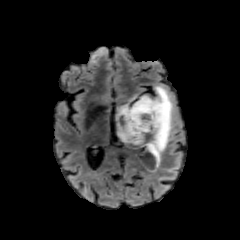
FLAIR MR.
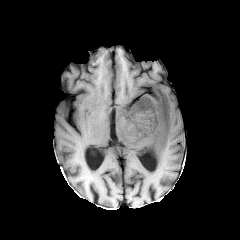
T1-weighted MR image of the same slice.
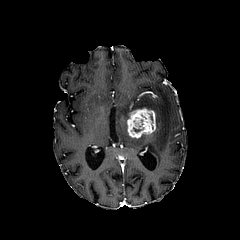
Post-contrast T1-weighted MR image of the same slice.
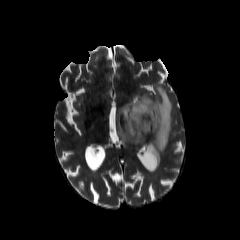
T2-weighted magnetic resonance.
Head; 240x240 px
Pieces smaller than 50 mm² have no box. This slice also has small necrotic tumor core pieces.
<segmentation>
  <enhancing_tumor>bbox=[127, 107, 156, 138]; bbox=[140, 147, 157, 166]</enhancing_tumor>
  <peritumoral_edema>bbox=[114, 85, 173, 172]</peritumoral_edema>
</segmentation>